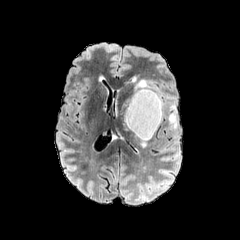
FLAIR MRI.
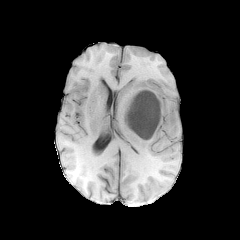
T1-weighted MR image of the same slice.
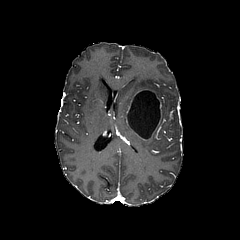
Post-contrast T1-weighted MRI.
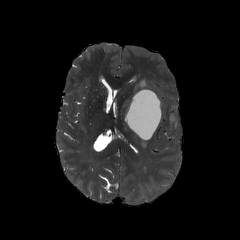
T2-weighted MRI of the same slice.
Image size 240x240. Axial view. Head.
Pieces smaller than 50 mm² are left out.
<segmentation>
  <necrotic_tumor_core>(x1=127, y1=90, x2=160, y2=139)</necrotic_tumor_core>
  <enhancing_tumor>(x1=126, y1=88, x2=162, y2=129)</enhancing_tumor>
  <peritumoral_edema>(x1=136, y1=80, x2=148, y2=88), (x1=120, y1=99, x2=129, y2=114), (x1=123, y1=111, x2=128, y2=130), (x1=169, y1=112, x2=176, y2=129)</peritumoral_edema>
</segmentation>